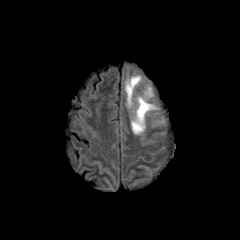
FLAIR MR image.
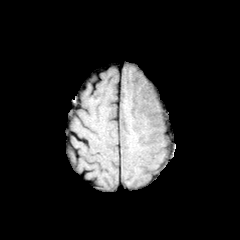
T1-weighted MRI.
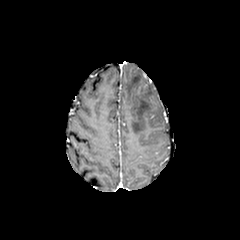
Same slice, post-contrast T1-weighted MRI.
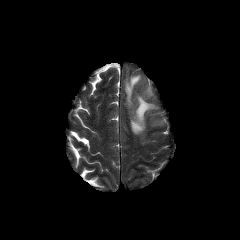
Same slice, T2-weighted MR.
Brain, Image size 240x240, Axial view
<segmentation>
  <peritumoral_edema>(left=131, top=87, right=157, bottom=134), (left=125, top=76, right=141, bottom=107)</peritumoral_edema>
</segmentation>